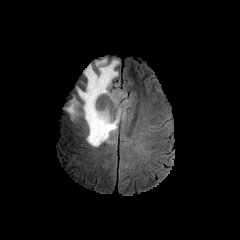
FLAIR MR.
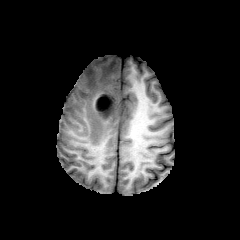
Same slice, T1-weighted magnetic resonance.
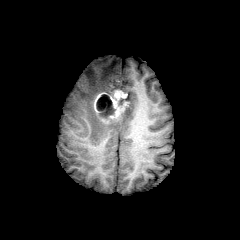
Same slice, post-contrast T1-weighted MR image.
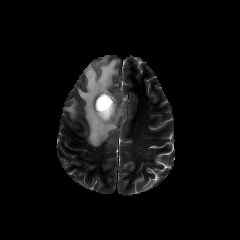
T2-weighted magnetic resonance.
Brain. Axial slice.
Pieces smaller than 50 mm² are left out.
The enhancing tumor is bounded by [94,90,127,121]. The largest necrotic tumor core region appears at [96,94,114,117]. The 2 largest peritumoral edema regions appear at [77,57,125,146], [65,98,78,118].